240x240, Slice 100 of 155, Brain
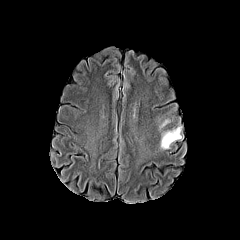
FLAIR MR image.
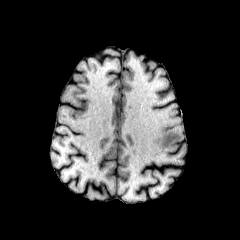
T1-weighted MR of the same slice.
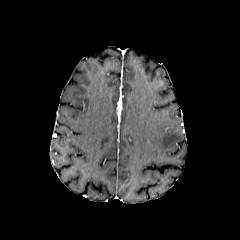
Same slice, post-contrast T1-weighted magnetic resonance.
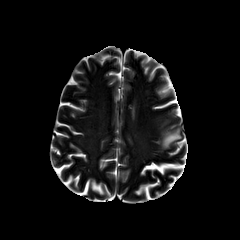
T2-weighted MR image.
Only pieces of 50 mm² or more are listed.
<segmentation>
  <peritumoral_edema>l=161, t=126, r=181, b=149</peritumoral_edema>
</segmentation>